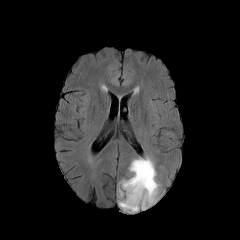
FLAIR MRI.
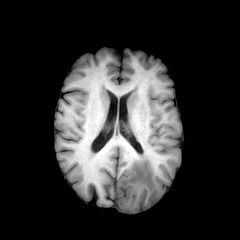
T1-weighted MR.
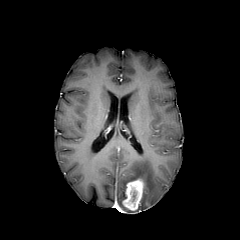
Same slice, post-contrast T1-weighted magnetic resonance.
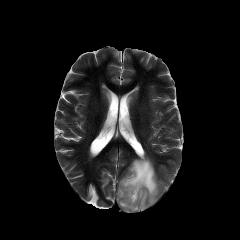
T2-weighted MR.
Image size 240x240
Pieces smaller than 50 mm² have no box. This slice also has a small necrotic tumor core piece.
The enhancing tumor is bounded by 122 179 143 210. The largest peritumoral edema region lies within 118 157 159 210.